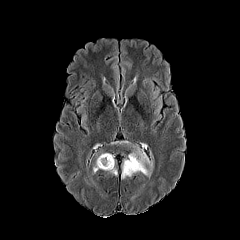
FLAIR MRI.
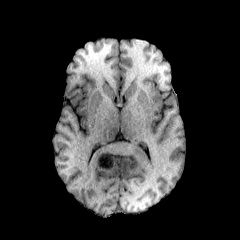
T1-weighted magnetic resonance.
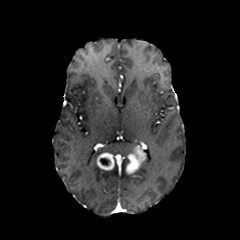
Post-contrast T1-weighted MRI.
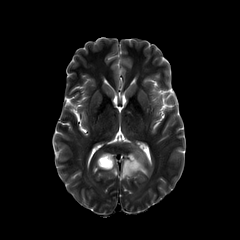
T2-weighted MRI of the same slice.
Axial plane.
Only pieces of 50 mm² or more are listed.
necrotic tumor core = 100, 158, 109, 165
enhancing tumor = 96, 152, 114, 170; 125, 143, 145, 174
peritumoral edema = 121, 159, 132, 178; 133, 155, 153, 177